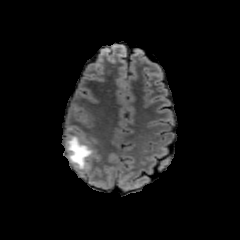
FLAIR MR.
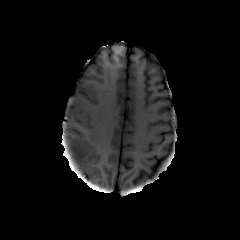
T1-weighted magnetic resonance of the same slice.
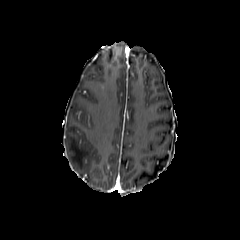
Post-contrast T1-weighted MRI of the same slice.
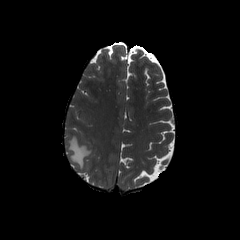
Same slice, T2-weighted MR.
Axial plane; Head
<segmentation>
  <peritumoral_edema>bbox=[67, 136, 92, 168]</peritumoral_edema>
</segmentation>